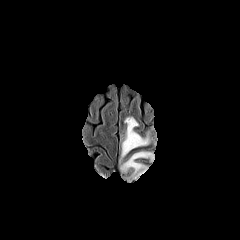
FLAIR MRI.
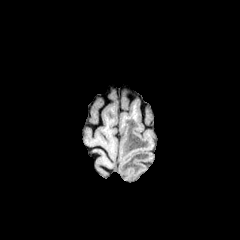
T1-weighted MR image.
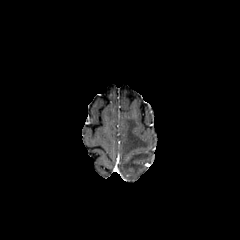
Post-contrast T1-weighted MRI of the same slice.
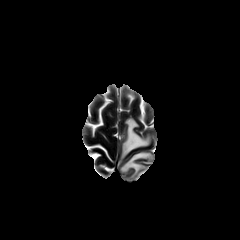
T2-weighted MRI of the same slice.
Head
peritumoral edema: l=121, t=117, r=150, b=159; l=120, t=151, r=152, b=179